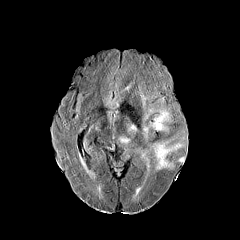
FLAIR magnetic resonance.
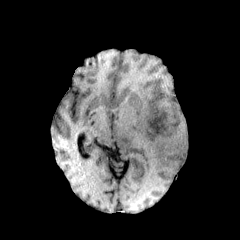
Same slice, T1-weighted MR image.
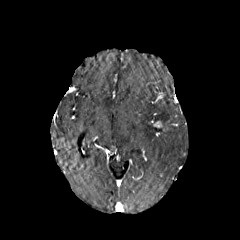
Same slice, post-contrast T1-weighted MRI.
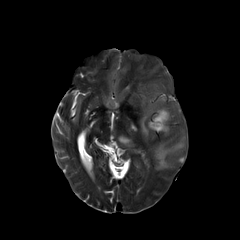
Same slice, T2-weighted MRI.
240x240; Axial slice; Brain
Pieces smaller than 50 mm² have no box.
peritumoral_edema:
  - x1=143 y1=115 x2=154 y2=140
  - x1=139 y1=134 x2=183 y2=169
  - x1=154 y1=112 x2=168 y2=122
enhancing_tumor:
  - x1=154 y1=121 x2=167 y2=130